Axial plane. Image width 240 mm, 1.00 mm slice spacing.
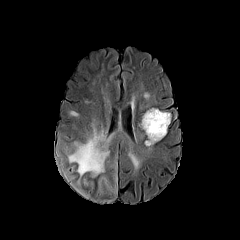
FLAIR MRI.
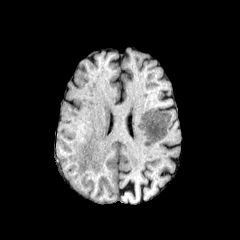
T1-weighted MR of the same slice.
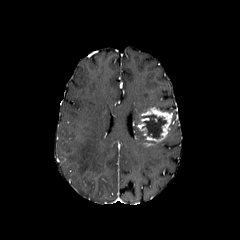
Post-contrast T1-weighted MR of the same slice.
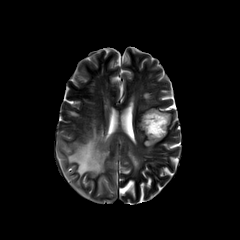
T2-weighted MRI of the same slice.
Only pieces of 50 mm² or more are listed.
enhancing tumor: left=138, top=107, right=172, bottom=146
peritumoral edema: left=99, top=159, right=118, bottom=193; left=60, top=124, right=140, bottom=177; left=58, top=151, right=95, bottom=197
necrotic tumor core: left=141, top=114, right=166, bottom=138